240x240 px
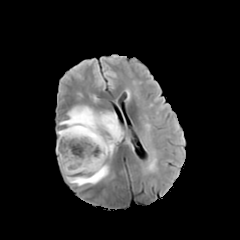
FLAIR MR.
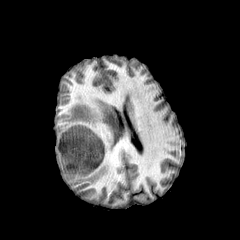
T1-weighted magnetic resonance.
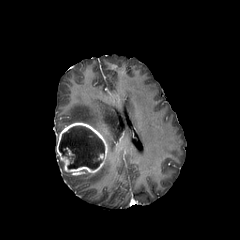
Same slice, post-contrast T1-weighted MRI.
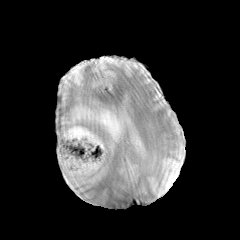
T2-weighted magnetic resonance of the same slice.
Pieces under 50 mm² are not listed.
The 2 largest peritumoral edema regions are located at box(58, 158, 109, 185); box(59, 105, 122, 158). The largest necrotic tumor core region appears at box(59, 126, 104, 169). The enhancing tumor is located at box(56, 122, 108, 175).